FLAIR MRI.
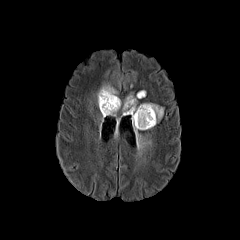
T1-weighted MRI.
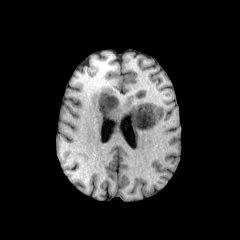
Post-contrast T1-weighted MR.
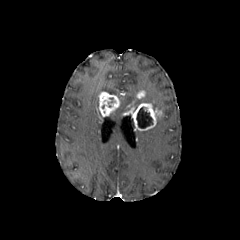
T2-weighted magnetic resonance.
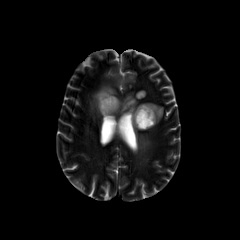
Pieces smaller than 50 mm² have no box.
enhancing tumor: bounding box 98 92 120 116, 124 101 162 130, 137 90 145 98
necrotic tumor core: bounding box 136 107 152 128
peritumoral edema: bounding box 95 84 117 108, 110 94 150 152